FLAIR MR image.
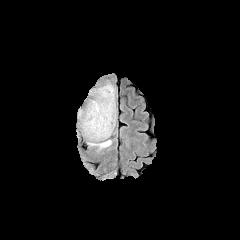
T1-weighted MR.
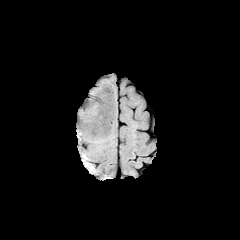
Post-contrast T1-weighted magnetic resonance.
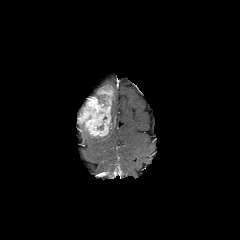
T2-weighted magnetic resonance.
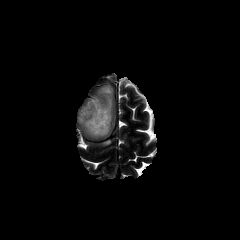
Axial slice.
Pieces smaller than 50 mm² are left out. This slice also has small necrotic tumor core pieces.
enhancing tumor: (77, 85, 113, 137) | peritumoral edema: (87, 89, 116, 148)